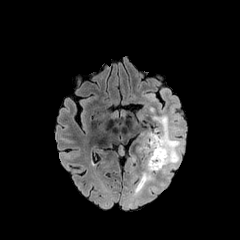
FLAIR MR.
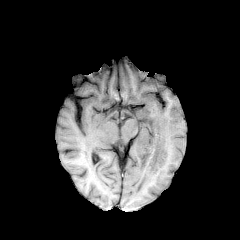
Same slice, T1-weighted MRI.
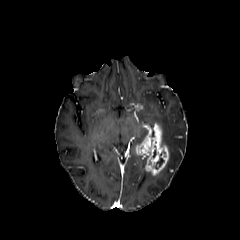
Post-contrast T1-weighted MR of the same slice.
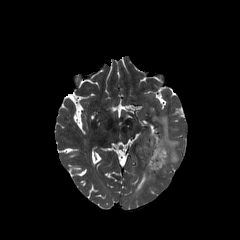
Same slice, T2-weighted MRI.
Axial plane; Head; 240x240 px
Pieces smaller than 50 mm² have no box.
{"enhancing_tumor": ["136:122:169:175"], "peritumoral_edema": ["134:169:155:191", "149:107:184:175"], "necrotic_tumor_core": ["155:158:164:169"]}